FLAIR magnetic resonance.
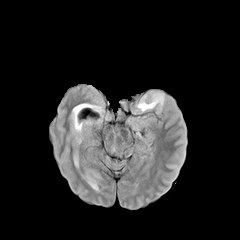
T1-weighted MR image.
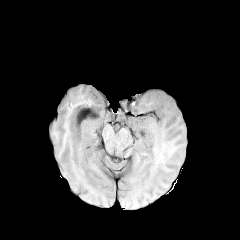
Post-contrast T1-weighted MR.
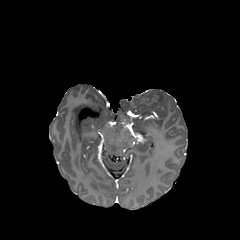
T2-weighted MRI.
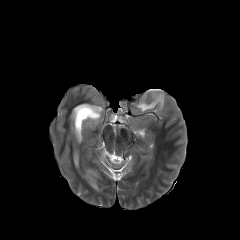
Axial view | Brain
peritumoral edema at box=[137, 94, 163, 111]